FLAIR MRI.
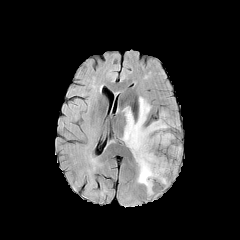
T1-weighted MRI.
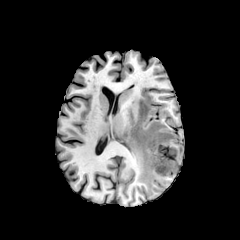
Post-contrast T1-weighted MR.
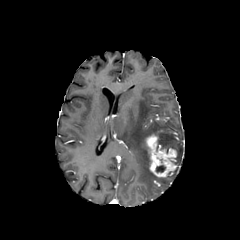
T2-weighted MR.
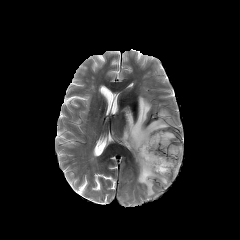
Axial plane
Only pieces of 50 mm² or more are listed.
Segmented structures:
* enhancing tumor: x1=145, y1=134, x2=177, y2=177
* necrotic tumor core: x1=156, y1=165, x2=165, y2=172
* peritumoral edema: x1=121, y1=97, x2=174, y2=195; x1=170, y1=145, x2=181, y2=160